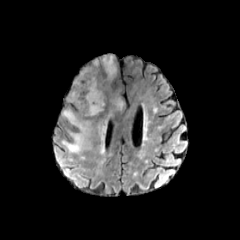
FLAIR MR image.
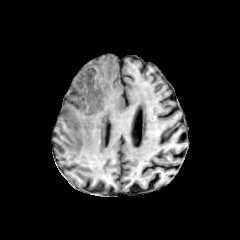
T1-weighted MR image of the same slice.
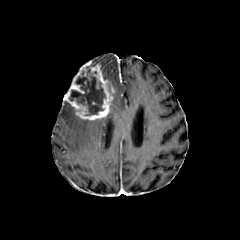
Same slice, post-contrast T1-weighted MRI.
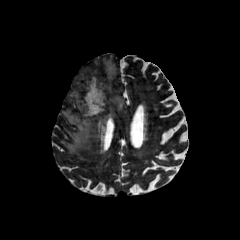
T2-weighted MRI of the same slice.
Head; Image size 240x240
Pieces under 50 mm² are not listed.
* peritumoral edema: x1=97, y1=112, x2=110, y2=153; x1=103, y1=55, x2=116, y2=81; x1=61, y1=108, x2=92, y2=153; x1=112, y1=98, x2=123, y2=109
* necrotic tumor core: x1=69, y1=71, x2=105, y2=115
* enhancing tumor: x1=64, y1=62, x2=114, y2=120